Image width 240 mm, Head
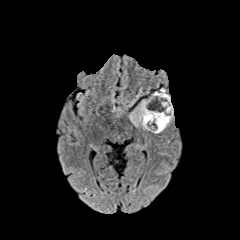
FLAIR MRI.
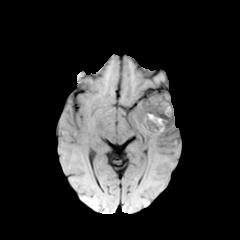
T1-weighted MR.
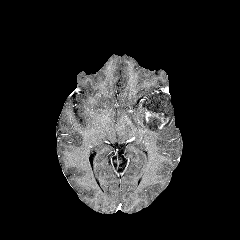
Post-contrast T1-weighted magnetic resonance.
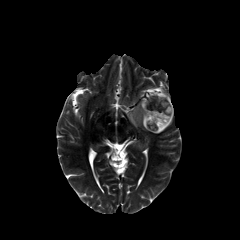
Same slice, T2-weighted MRI.
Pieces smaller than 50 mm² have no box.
enhancing tumor — (145,109,168,128)
peritumoral edema — (129,93,173,133)
necrotic tumor core — (146,92,169,121), (148,116,161,130)